Head, Slice 78/155
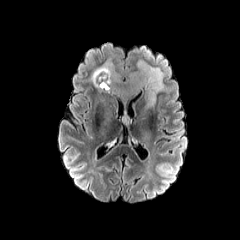
FLAIR MR.
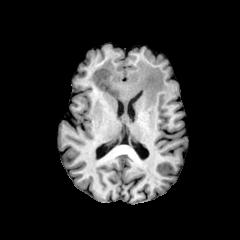
Same slice, T1-weighted MR.
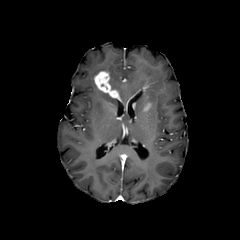
Post-contrast T1-weighted MRI of the same slice.
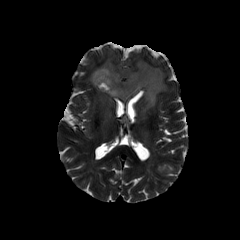
Same slice, T2-weighted MR.
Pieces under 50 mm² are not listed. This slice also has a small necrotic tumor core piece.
The largest enhancing tumor region is located at (x1=93, y1=71, x2=119, y2=97). The peritumoral edema is located at (x1=90, y1=60, x2=165, y2=106).